FLAIR MR.
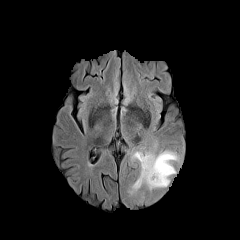
T1-weighted MRI.
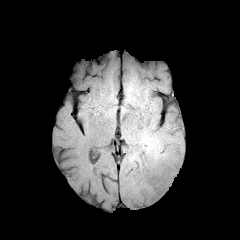
Post-contrast T1-weighted MR.
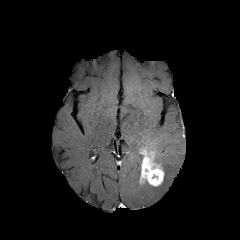
T2-weighted magnetic resonance.
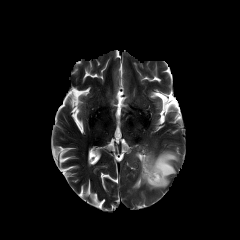
Axial view; Head
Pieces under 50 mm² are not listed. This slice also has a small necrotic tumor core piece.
The enhancing tumor lies within <box>139,150,164,186</box>. 3 peritumoral edema regions appear at <box>132,150,142,166</box>, <box>130,170,141,193</box>, <box>142,150,180,190</box>.